FLAIR MRI.
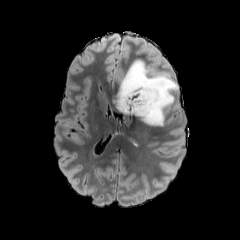
T1-weighted MR image.
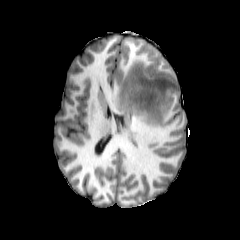
Post-contrast T1-weighted MRI.
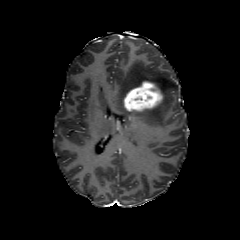
T2-weighted magnetic resonance.
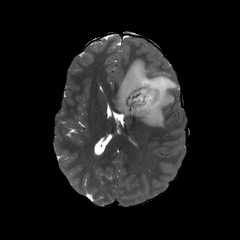
240x240 px
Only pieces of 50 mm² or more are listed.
peritumoral edema: 112 58 178 127
enhancing tumor: 123 80 163 111